FLAIR MR image.
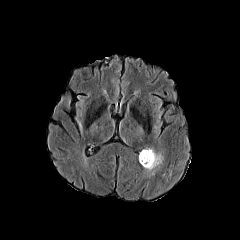
T1-weighted MR image.
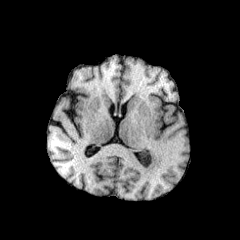
Post-contrast T1-weighted magnetic resonance.
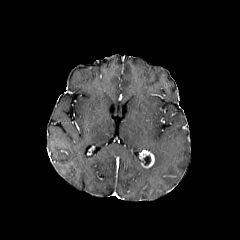
T2-weighted magnetic resonance.
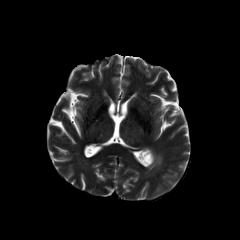
Brain
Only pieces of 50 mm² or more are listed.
Findings:
• peritumoral edema: (143,147,163,171)
• enhancing tumor: (139,150,154,168)
• necrotic tumor core: (143,155,151,165)